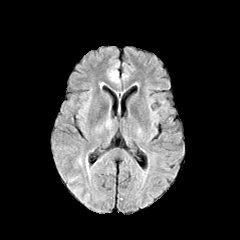
FLAIR MRI.
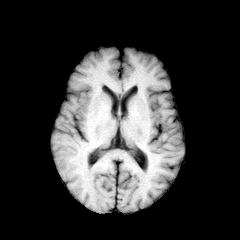
T1-weighted MR.
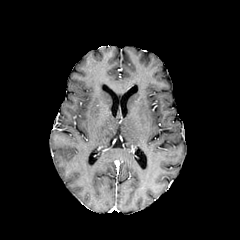
Same slice, post-contrast T1-weighted magnetic resonance.
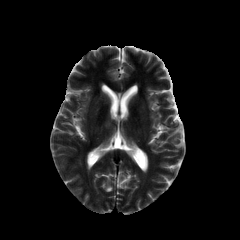
T2-weighted MRI.
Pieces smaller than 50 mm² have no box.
peritumoral edema: region(109, 72, 119, 83)